FLAIR MRI.
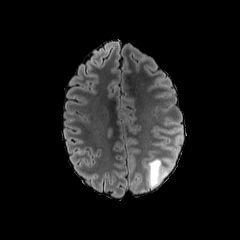
T1-weighted MR.
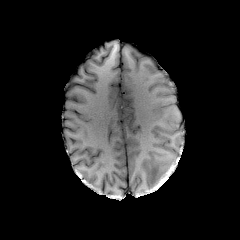
Post-contrast T1-weighted MR image.
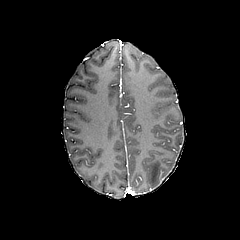
T2-weighted MR.
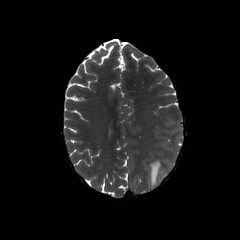
Axial view
peritumoral edema: bounding box (145, 157, 170, 188)